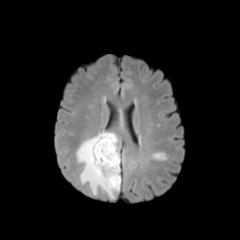
FLAIR MRI.
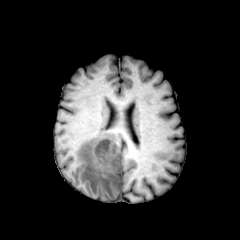
Same slice, T1-weighted magnetic resonance.
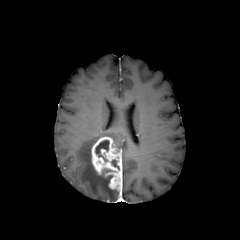
Post-contrast T1-weighted magnetic resonance.
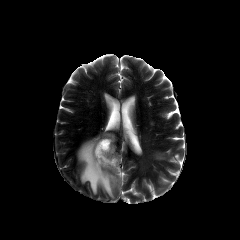
T2-weighted MRI of the same slice.
Head
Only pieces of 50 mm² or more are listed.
Annotated regions:
• necrotic tumor core: [x1=95, y1=140, x2=108, y2=160]
• enhancing tumor: [x1=91, y1=137, x2=121, y2=190]
• peritumoral edema: [x1=76, y1=132, x2=118, y2=198]